Image covers 240 mm x 240 mm, Axial slice, Head
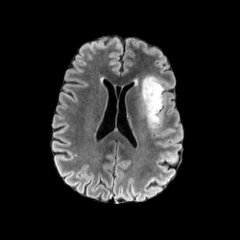
FLAIR MR.
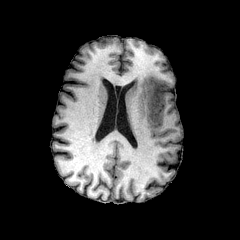
T1-weighted MR.
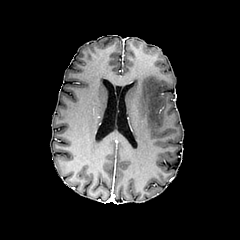
Post-contrast T1-weighted MR of the same slice.
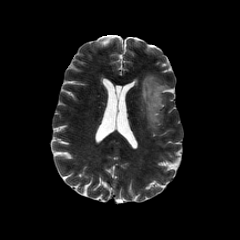
T2-weighted MR.
The peritumoral edema is bounded by <bbox>140, 75, 164, 130</bbox>.